Brain; Axial plane; Slice 74 of 155
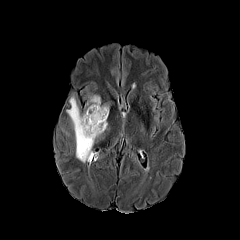
FLAIR MRI.
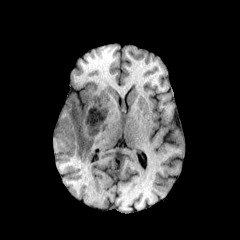
T1-weighted MRI of the same slice.
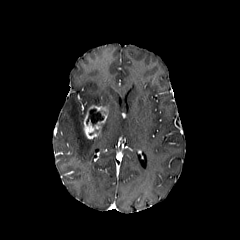
Post-contrast T1-weighted MR image.
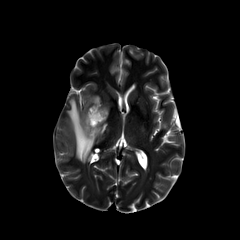
T2-weighted magnetic resonance of the same slice.
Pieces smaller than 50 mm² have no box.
• necrotic tumor core: <bbox>86, 108, 103, 126</bbox>
• enhancing tumor: <bbox>83, 105, 108, 139</bbox>
• peritumoral edema: <bbox>85, 95, 100, 112</bbox>, <bbox>66, 96, 107, 162</bbox>